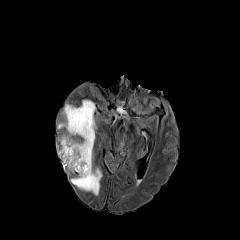
FLAIR MR.
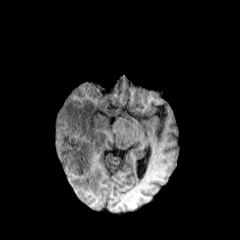
T1-weighted MR image.
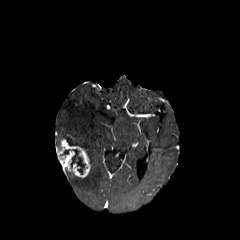
Post-contrast T1-weighted MR.
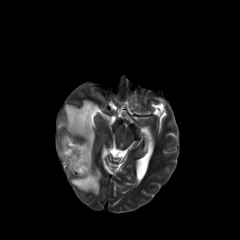
T2-weighted magnetic resonance.
Axial plane.
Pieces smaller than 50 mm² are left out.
enhancing tumor at box(58, 138, 90, 177)
peritumoral edema at box(57, 100, 102, 195)
necrotic tumor core at box(71, 149, 85, 174)